FLAIR MRI.
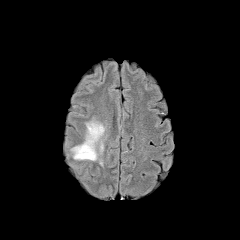
T1-weighted MR.
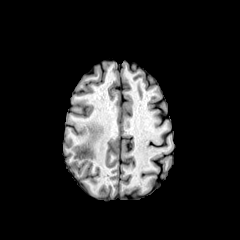
Post-contrast T1-weighted MR.
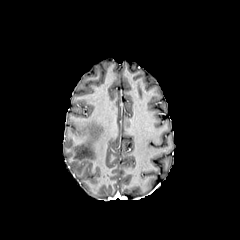
T2-weighted magnetic resonance.
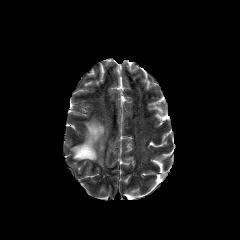
Head, Axial plane
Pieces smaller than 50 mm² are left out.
peritumoral edema: bounding box left=71, top=121, right=104, bottom=160